Head. Slice 66 of 155.
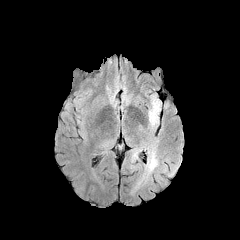
FLAIR MR.
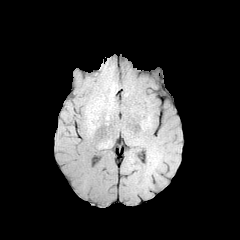
Same slice, T1-weighted magnetic resonance.
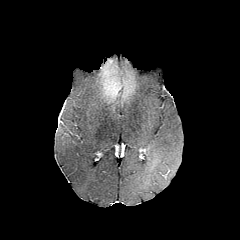
Post-contrast T1-weighted MR.
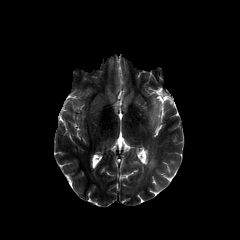
T2-weighted magnetic resonance.
• peritumoral edema: region(125, 91, 183, 189); region(97, 137, 115, 149)